FLAIR MR.
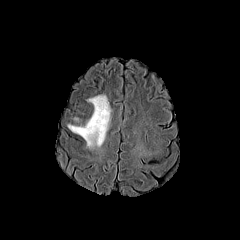
T1-weighted magnetic resonance.
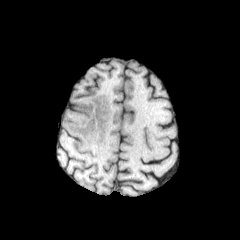
Post-contrast T1-weighted MR.
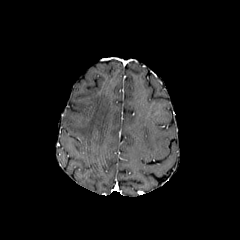
T2-weighted MRI.
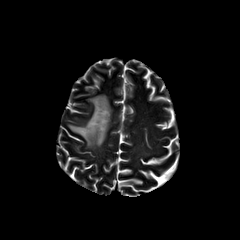
Head
peritumoral edema at rect(68, 95, 111, 147)